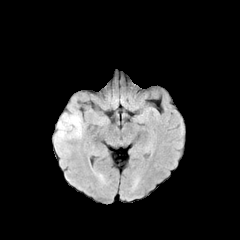
FLAIR magnetic resonance.
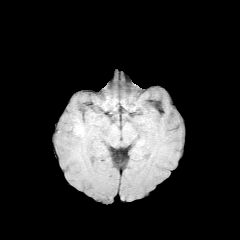
T1-weighted MR image of the same slice.
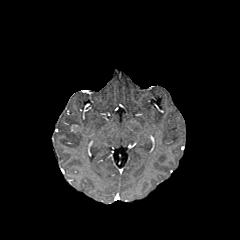
Post-contrast T1-weighted MR.
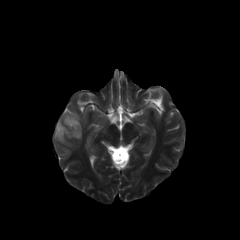
T2-weighted magnetic resonance.
Brain | Axial view
- enhancing tumor: bbox(71, 124, 78, 132)
- peritumoral edema: bbox(54, 97, 84, 155)